240x240 px. Brain.
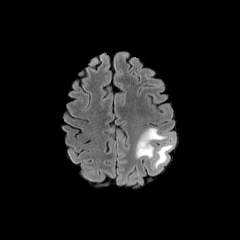
FLAIR MR.
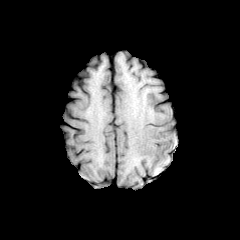
T1-weighted MR.
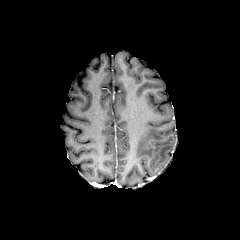
Post-contrast T1-weighted MR.
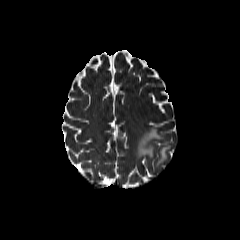
T2-weighted magnetic resonance of the same slice.
Findings:
- peritumoral edema: <bbox>135, 127, 173, 168</bbox>